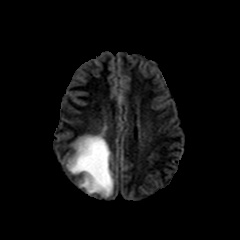
FLAIR magnetic resonance.
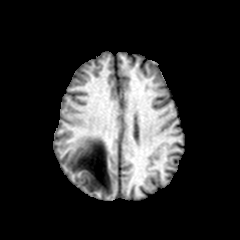
T1-weighted MR image of the same slice.
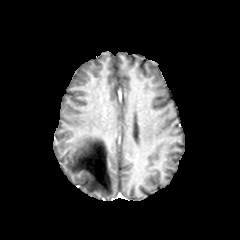
Post-contrast T1-weighted MR image.
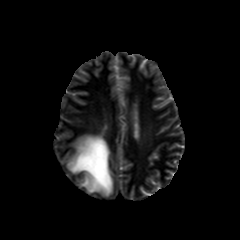
T2-weighted MR image of the same slice.
Head.
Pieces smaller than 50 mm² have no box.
<segmentation>
  <peritumoral_edema>66 132 113 197</peritumoral_edema>
</segmentation>